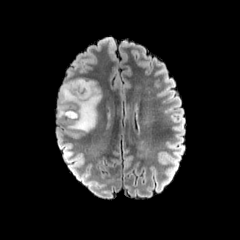
FLAIR MR image.
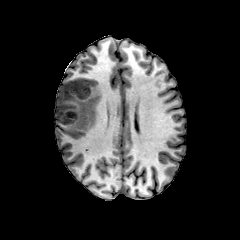
Same slice, T1-weighted MR image.
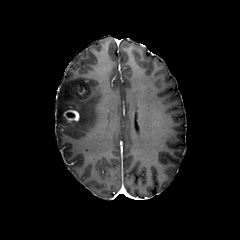
Post-contrast T1-weighted MR.
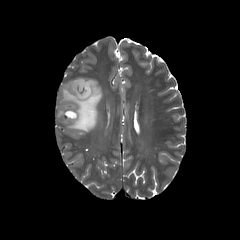
T2-weighted MR image.
Head
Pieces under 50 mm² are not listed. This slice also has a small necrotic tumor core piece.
enhancing tumor: 63,109,79,122 | peritumoral edema: 57,78,101,131